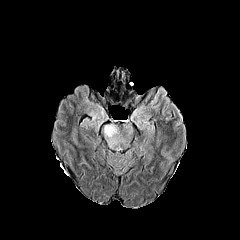
FLAIR MR image.
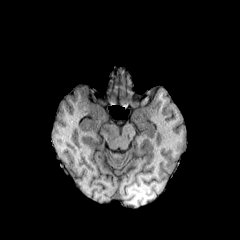
T1-weighted magnetic resonance.
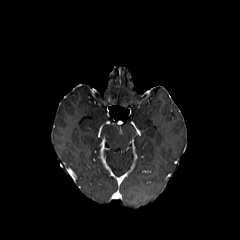
Post-contrast T1-weighted MR of the same slice.
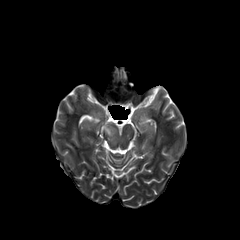
T2-weighted magnetic resonance of the same slice.
Axial view
The peritumoral edema lies within [104,125,117,144].